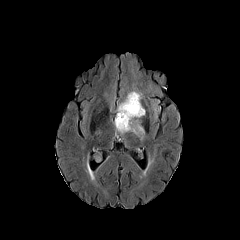
FLAIR MR.
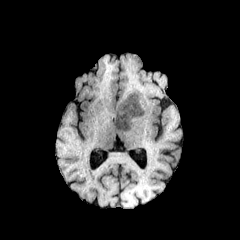
Same slice, T1-weighted magnetic resonance.
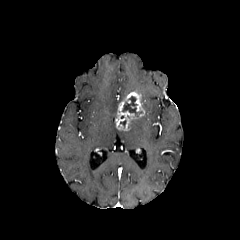
Same slice, post-contrast T1-weighted MR image.
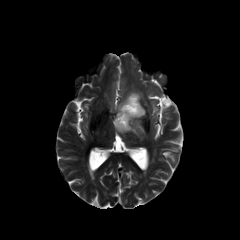
T2-weighted MR image of the same slice.
Head.
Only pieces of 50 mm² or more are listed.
enhancing tumor — x1=115, y1=92, x2=144, y2=130
necrotic tumor core — x1=122, y1=96, x2=142, y2=116
peritumoral edema — x1=129, y1=119, x2=144, y2=139